FLAIR magnetic resonance.
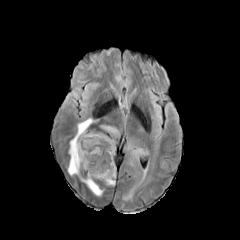
T1-weighted MR.
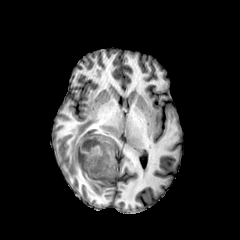
Post-contrast T1-weighted MR image.
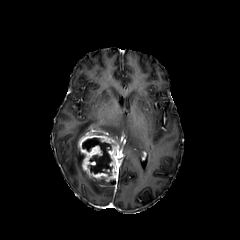
T2-weighted MR.
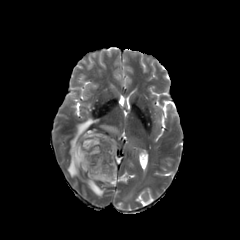
Axial plane
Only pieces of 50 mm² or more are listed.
peritumoral edema at <bbox>101, 125, 118, 135</bbox>, <bbox>80, 177, 104, 196</bbox>, <bbox>68, 118, 98, 176</bbox>
enhancing tumor at <bbox>78, 134, 118, 182</bbox>
necrotic tumor core at <bbox>82, 138, 112, 173</bbox>